Slice index 65; Head; Image width 240 mm
FLAIR MR.
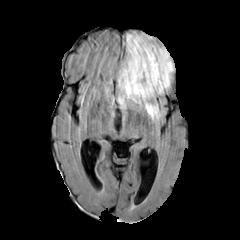
T1-weighted MR.
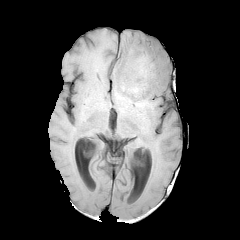
Post-contrast T1-weighted MR image.
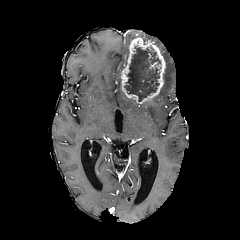
T2-weighted magnetic resonance.
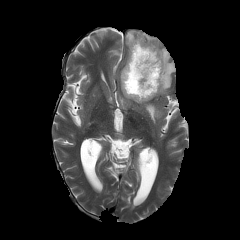
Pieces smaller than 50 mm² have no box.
{"peritumoral_edema": ["139,33,154,40", "117,31,137,108", "139,101,160,121", "155,41,174,94"], "enhancing_tumor": ["120,33,165,103"], "necrotic_tumor_core": ["124,46,160,101"]}